Axial view, Slice 70 of 155, 240x240
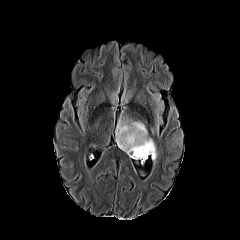
FLAIR MRI.
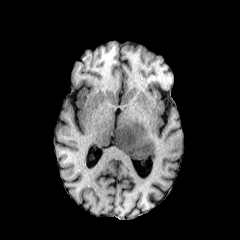
T1-weighted magnetic resonance.
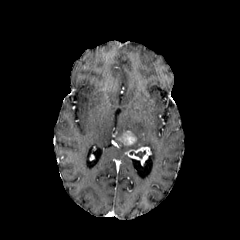
Post-contrast T1-weighted magnetic resonance.
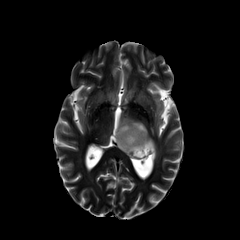
T2-weighted MR.
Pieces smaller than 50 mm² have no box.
Annotated regions:
• enhancing tumor: box(117, 130, 136, 145); box(125, 146, 151, 160)
• necrotic tumor core: box(130, 150, 145, 158)
• peritumoral edema: box(116, 118, 156, 159)